FLAIR MRI.
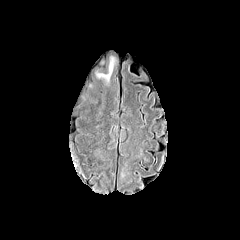
T1-weighted MRI.
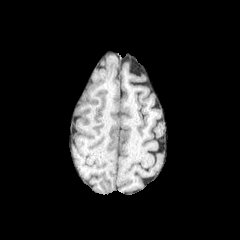
Post-contrast T1-weighted MR.
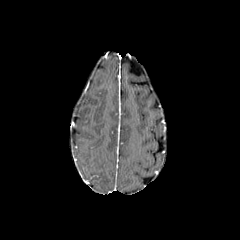
T2-weighted MR image.
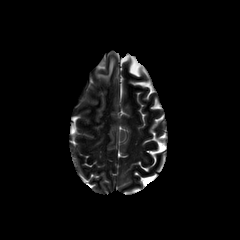
Image size 240x240. Axial slice. Head.
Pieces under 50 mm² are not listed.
Annotated regions:
- peritumoral edema: <box>98,56,115,80</box>